FLAIR MRI.
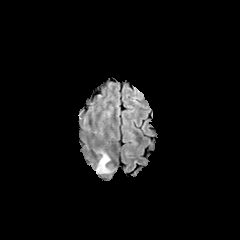
T1-weighted MR image.
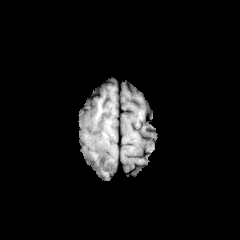
Post-contrast T1-weighted MR.
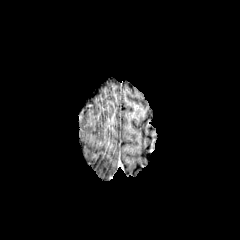
T2-weighted MR.
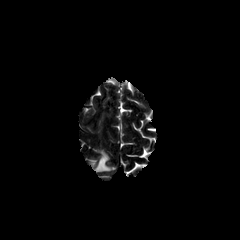
Brain
peritumoral edema — (95, 151, 111, 173)